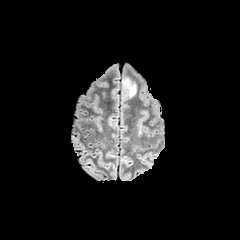
FLAIR MR.
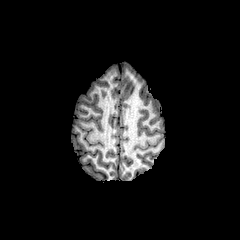
Same slice, T1-weighted magnetic resonance.
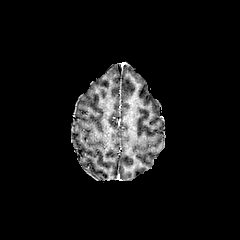
Post-contrast T1-weighted MR.
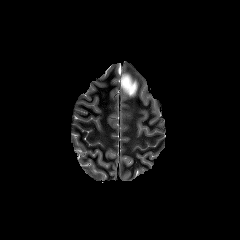
Same slice, T2-weighted MR.
Axial plane | Head | 240x240 px
peritumoral edema = region(122, 76, 136, 96)